FLAIR MR.
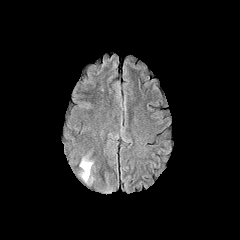
T1-weighted MR image.
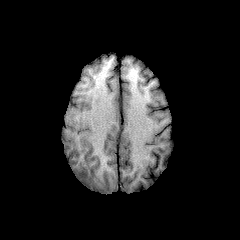
Post-contrast T1-weighted MR.
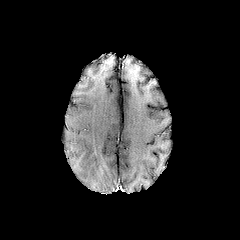
T2-weighted MR.
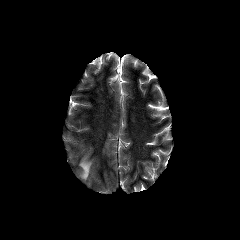
Brain; Image size 240x240
• peritumoral edema: box(80, 160, 91, 180)